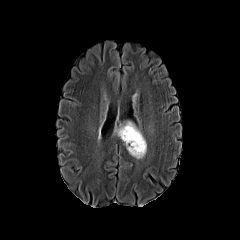
FLAIR MRI.
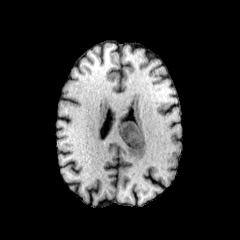
T1-weighted magnetic resonance of the same slice.
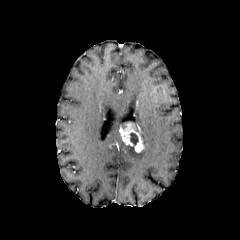
Post-contrast T1-weighted MR.
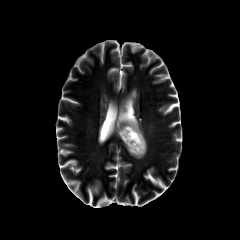
T2-weighted MR image of the same slice.
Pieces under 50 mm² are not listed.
enhancing tumor at (118, 122, 144, 152)
peritumoral edema at (127, 132, 146, 158)
necrotic tumor core at (130, 133, 138, 144)